FLAIR MRI.
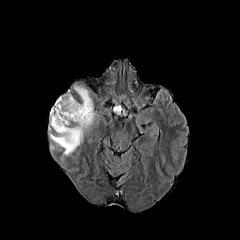
T1-weighted MR image.
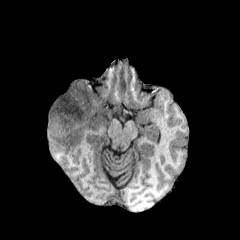
Post-contrast T1-weighted MR.
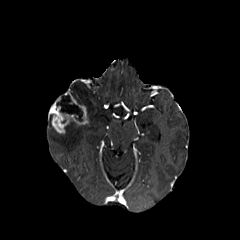
T2-weighted MR image.
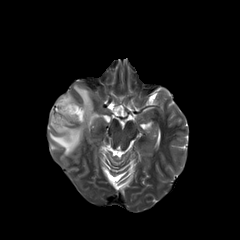
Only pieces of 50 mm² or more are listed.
The largest necrotic tumor core region is located at (left=56, top=95, right=82, bottom=121). The peritumoral edema is bounded by (left=49, top=85, right=95, bottom=155). The enhancing tumor appears at (left=49, top=90, right=88, bottom=134).